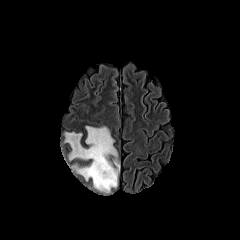
FLAIR MRI.
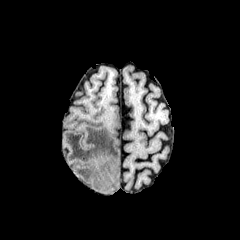
T1-weighted magnetic resonance of the same slice.
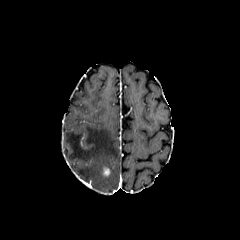
Post-contrast T1-weighted magnetic resonance of the same slice.
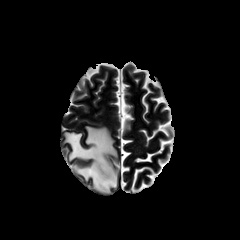
T2-weighted MR image of the same slice.
Brain, Axial plane
{"enhancing_tumor": ["[x1=103, y1=167, x2=110, y2=176]"], "peritumoral_edema": ["[x1=64, y1=126, x2=119, y2=192]"]}